240x240 px | Axial slice | Head
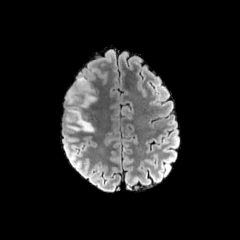
FLAIR MR image.
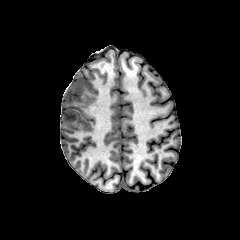
T1-weighted MR of the same slice.
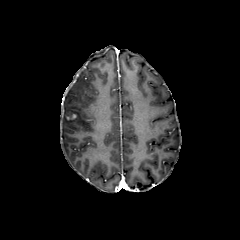
Post-contrast T1-weighted magnetic resonance of the same slice.
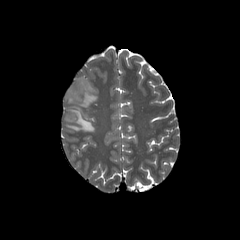
T2-weighted magnetic resonance.
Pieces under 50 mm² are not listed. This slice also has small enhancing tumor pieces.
{"peritumoral_edema": ["<box>64,76,96,131</box>"]}